Axial slice, Slice 87/155, Image size 240x240
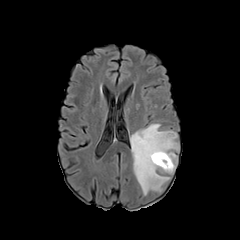
FLAIR MR image.
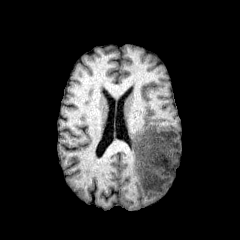
T1-weighted MR image.
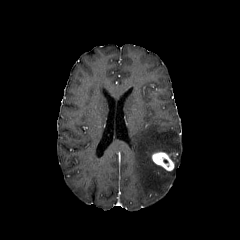
Post-contrast T1-weighted magnetic resonance of the same slice.
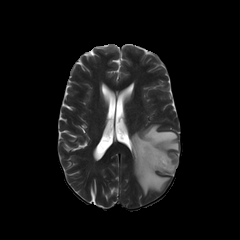
T2-weighted MRI.
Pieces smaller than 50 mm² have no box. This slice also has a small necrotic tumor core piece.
The peritumoral edema lies within region(130, 124, 179, 195). The enhancing tumor is located at region(151, 151, 174, 171).